FLAIR magnetic resonance.
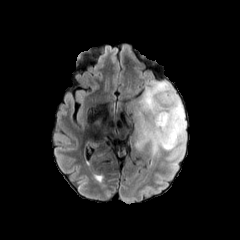
T1-weighted MR.
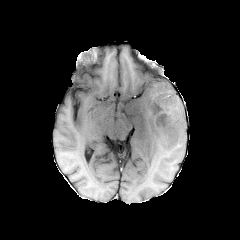
Post-contrast T1-weighted MR.
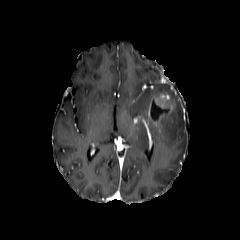
T2-weighted MR.
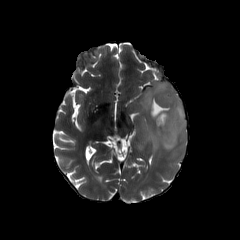
Axial view
necrotic_tumor_core:
  - {"x1": 151, "y1": 101, "x2": 167, "y2": 119}
enhancing_tumor:
  - {"x1": 148, "y1": 91, "x2": 176, "y2": 124}
peritumoral_edema:
  - {"x1": 130, "y1": 80, "x2": 186, "y2": 153}